FLAIR MRI.
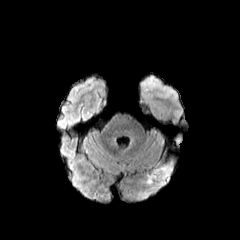
T1-weighted magnetic resonance.
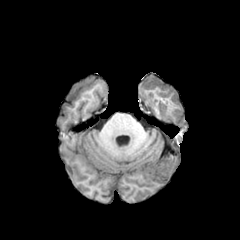
Post-contrast T1-weighted magnetic resonance.
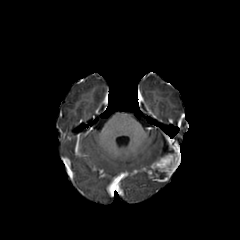
T2-weighted MR.
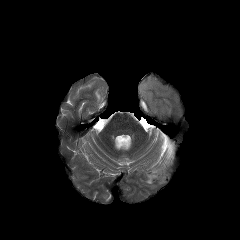
240x240 | Axial view
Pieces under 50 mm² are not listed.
Findings:
• enhancing tumor: left=147, top=154, right=175, bottom=182
• necrotic tumor core: left=152, top=168, right=166, bottom=179
• peritumoral edema: left=144, top=173, right=167, bottom=188